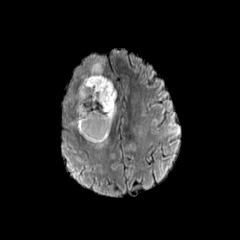
FLAIR MR image.
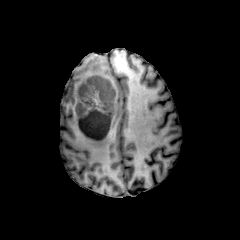
T1-weighted MR image of the same slice.
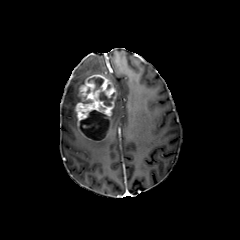
Post-contrast T1-weighted MRI.
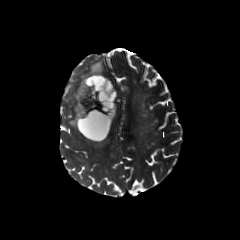
Same slice, T2-weighted magnetic resonance.
Brain, Axial slice
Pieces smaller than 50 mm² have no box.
peritumoral edema at {"x1": 69, "y1": 58, "x2": 104, "y2": 109}
enhancing tumor at {"x1": 75, "y1": 74, "x2": 115, "y2": 141}
necrotic tumor core at {"x1": 99, "y1": 92, "x2": 114, "y2": 105}, {"x1": 80, "y1": 110, "x2": 109, "y2": 140}, {"x1": 88, "y1": 77, "x2": 103, "y2": 90}